FLAIR magnetic resonance.
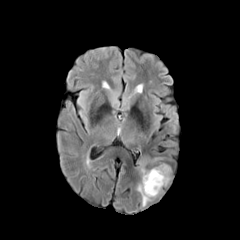
T1-weighted magnetic resonance.
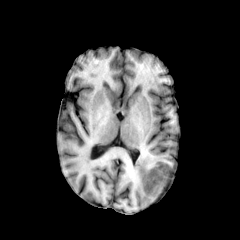
Post-contrast T1-weighted MR.
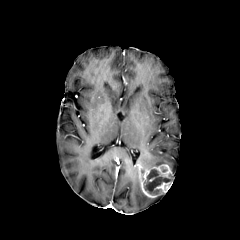
T2-weighted MRI.
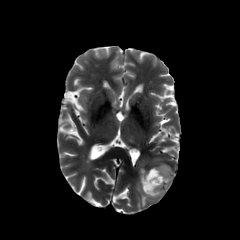
Brain.
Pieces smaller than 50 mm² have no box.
Findings:
* enhancing tumor: 139,164,172,198
* peritumoral edema: 139,157,163,167; 137,183,152,206
* necrotic tumor core: 144,169,170,194